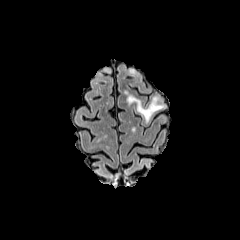
FLAIR MRI.
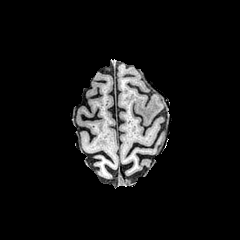
T1-weighted MR.
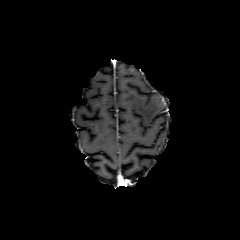
Post-contrast T1-weighted MR image.
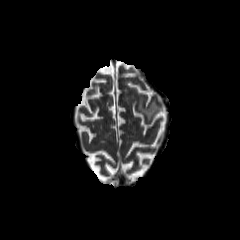
T2-weighted MR.
240x240.
The peritumoral edema is at <box>127,95,165,121</box>.